Brain | Slice 79 of 155
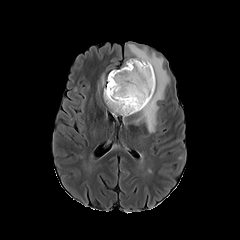
FLAIR MR.
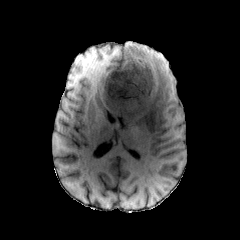
T1-weighted magnetic resonance.
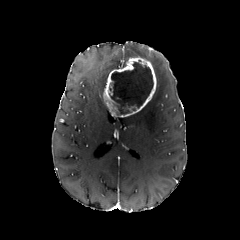
Same slice, post-contrast T1-weighted MR image.
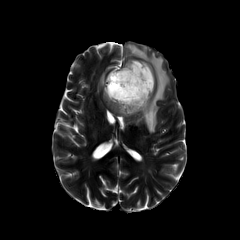
T2-weighted MRI.
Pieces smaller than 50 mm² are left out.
peritumoral edema: <bbox>130, 46, 169, 133</bbox> | necrotic tumor core: <bbox>110, 62, 153, 114</bbox> | enhancing tumor: <bbox>103, 57, 156, 117</bbox>